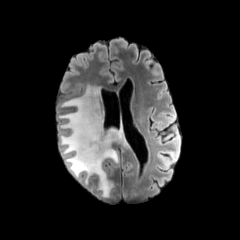
FLAIR MR image.
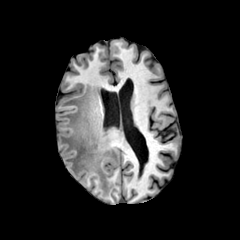
T1-weighted magnetic resonance of the same slice.
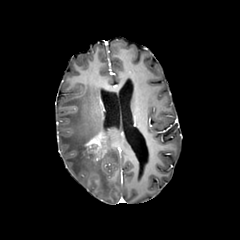
Same slice, post-contrast T1-weighted MRI.
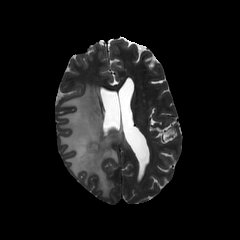
Same slice, T2-weighted MRI.
Head | Axial slice
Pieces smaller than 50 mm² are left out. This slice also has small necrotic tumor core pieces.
peritumoral edema: {"x1": 59, "y1": 85, "x2": 129, "y2": 197} | enhancing tumor: {"x1": 83, "y1": 133, "x2": 106, "y2": 160}